Slice index 81
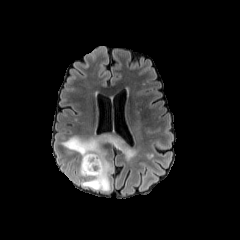
FLAIR MR.
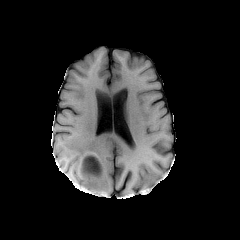
Same slice, T1-weighted MRI.
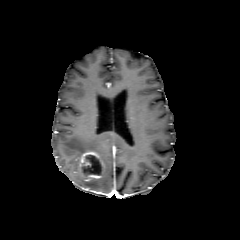
Post-contrast T1-weighted MRI of the same slice.
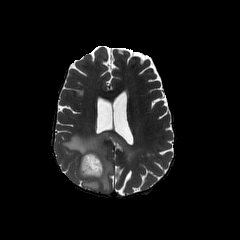
T2-weighted MR.
Annotated regions:
• enhancing tumor: rect(81, 152, 104, 178)
• peritumoral edema: rect(62, 132, 138, 191)
• necrotic tumor core: rect(83, 155, 101, 174)